FLAIR MRI.
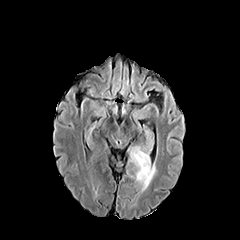
T1-weighted MR.
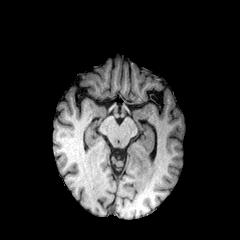
Post-contrast T1-weighted MRI.
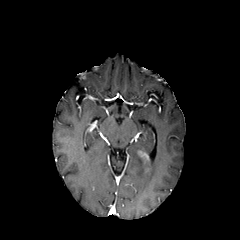
T2-weighted MRI.
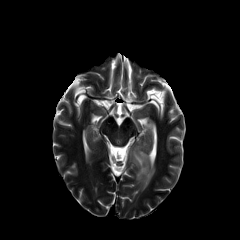
Axial view | Image size 240x240
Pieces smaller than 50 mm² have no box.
The enhancing tumor lies within 139,151,148,163. The largest peritumoral edema region appears at 131,146,155,191.